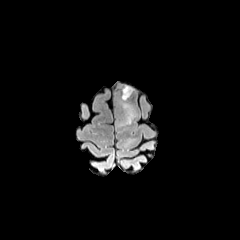
FLAIR MR.
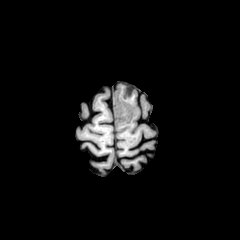
T1-weighted MR image.
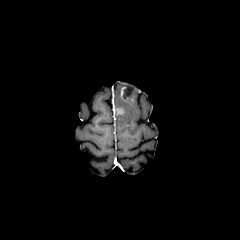
Same slice, post-contrast T1-weighted MRI.
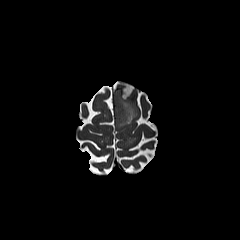
T2-weighted MR of the same slice.
Axial view
2 enhancing tumor regions are located at [115, 108, 123, 114], [120, 84, 133, 100]. The peritumoral edema appears at [115, 91, 138, 126].